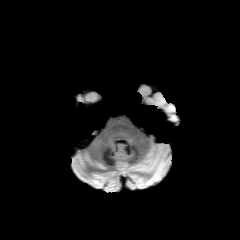
FLAIR MRI.
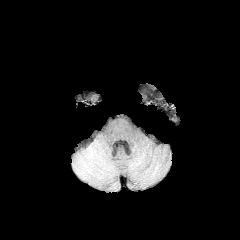
T1-weighted magnetic resonance of the same slice.
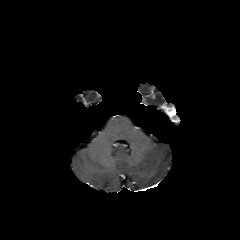
Post-contrast T1-weighted MR image of the same slice.
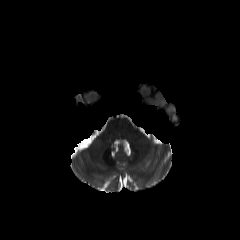
T2-weighted MRI.
240x240 px; Brain; Axial slice
<segmentation>
  <enhancing_tumor><box>164,106,177,121</box></enhancing_tumor>
</segmentation>